Brain. 240x240. Slice 63 of 155.
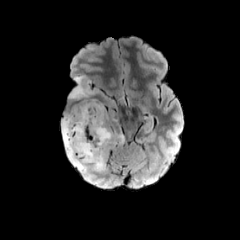
FLAIR magnetic resonance.
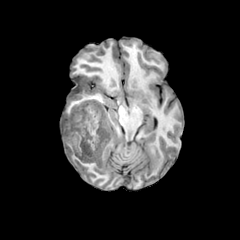
T1-weighted MR.
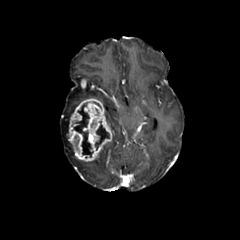
Same slice, post-contrast T1-weighted magnetic resonance.
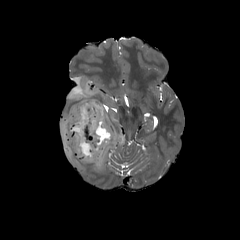
T2-weighted MR.
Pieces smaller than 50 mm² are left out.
{
  "necrotic_tumor_core": [
    "rect(74, 104, 92, 156)",
    "rect(95, 124, 109, 148)"
  ],
  "enhancing_tumor": [
    "rect(80, 78, 86, 88)",
    "rect(67, 98, 113, 161)"
  ],
  "peritumoral_edema": [
    "rect(69, 76, 96, 99)",
    "rect(61, 113, 112, 171)"
  ]
}